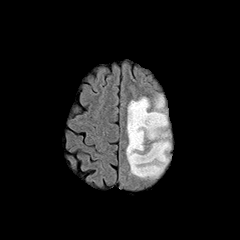
FLAIR MR.
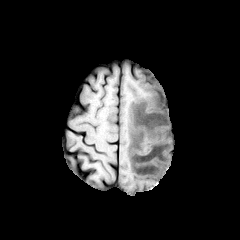
T1-weighted MR.
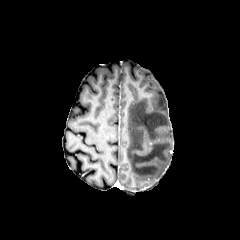
Same slice, post-contrast T1-weighted MR image.
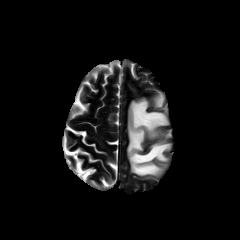
T2-weighted MR image.
peritumoral edema — [126, 94, 171, 178]